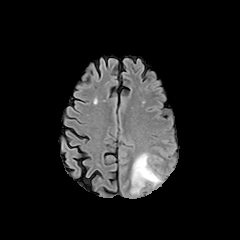
FLAIR MR image.
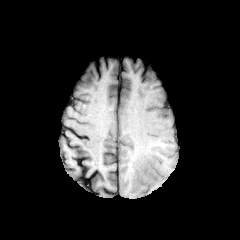
Same slice, T1-weighted magnetic resonance.
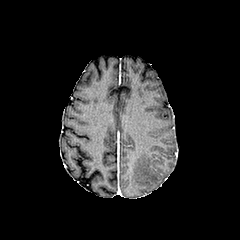
Post-contrast T1-weighted MR image of the same slice.
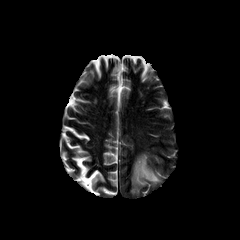
T2-weighted MRI.
Image size 240x240
peritumoral edema: bounding box rect(132, 153, 160, 193)